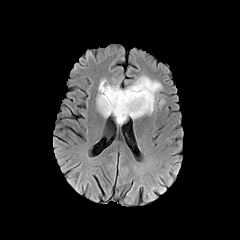
FLAIR magnetic resonance.
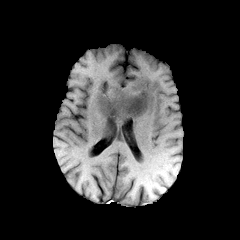
T1-weighted MRI.
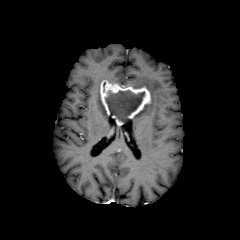
Same slice, post-contrast T1-weighted MRI.
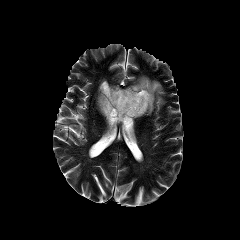
T2-weighted MR image.
Image size 240x240.
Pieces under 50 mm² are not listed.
Segmented structures:
• peritumoral edema: (left=96, top=80, right=108, bottom=117), (left=130, top=75, right=164, bottom=119)
• necrotic tumor core: (left=106, top=90, right=144, bottom=121)
• enhancing tumor: (left=100, top=80, right=150, bottom=125)